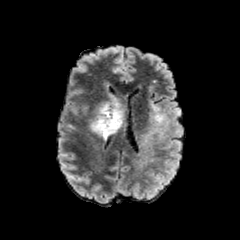
FLAIR MRI.
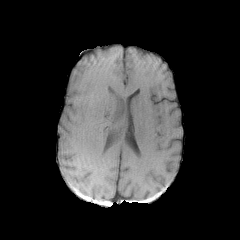
T1-weighted magnetic resonance.
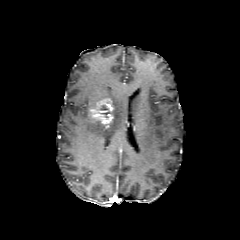
Post-contrast T1-weighted MRI.
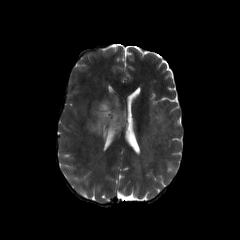
T2-weighted MR.
240x240 px. Axial slice.
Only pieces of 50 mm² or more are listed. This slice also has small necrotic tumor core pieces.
* peritumoral edema: 89:97:121:139, 136:103:183:167
* enhancing tumor: 90:98:113:128